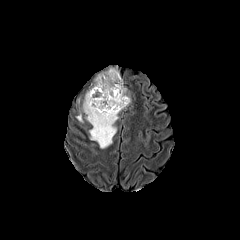
FLAIR MR.
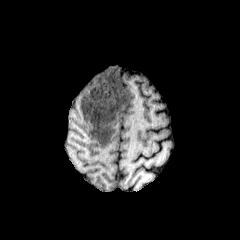
Same slice, T1-weighted MRI.
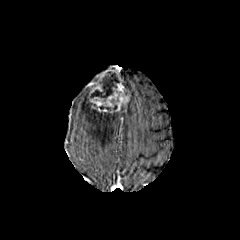
Post-contrast T1-weighted MR.
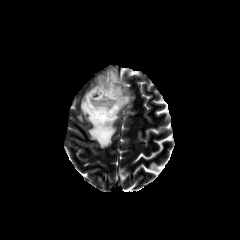
T2-weighted MRI.
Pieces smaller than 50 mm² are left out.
necrotic_tumor_core:
  - l=88, t=71, r=119, b=100
enhancing_tumor:
  - l=89, t=66, r=130, b=113
peritumoral_edema:
  - l=83, t=92, r=118, b=148